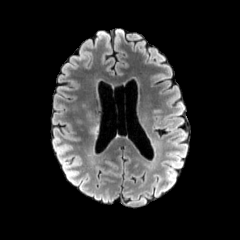
FLAIR magnetic resonance.
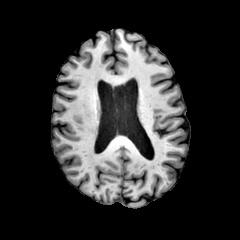
T1-weighted MRI.
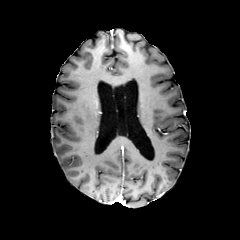
Post-contrast T1-weighted MR.
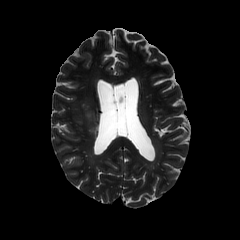
T2-weighted magnetic resonance.
Head
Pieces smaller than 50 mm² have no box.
{
  "peritumoral_edema": [
    "<bbox>90, 124, 98, 135</bbox>"
  ]
}